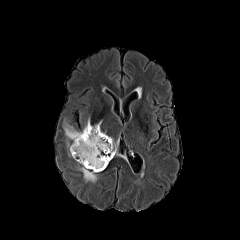
FLAIR MR image.
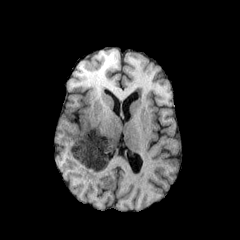
T1-weighted MR image.
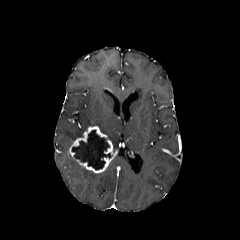
Post-contrast T1-weighted MR.
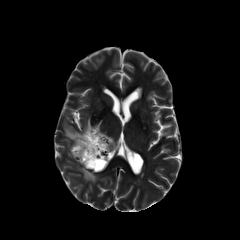
T2-weighted MRI.
Image size 240x240
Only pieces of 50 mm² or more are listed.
enhancing tumor — (left=69, top=126, right=117, bottom=173)
necrotic tumor core — (left=72, top=130, right=109, bottom=169)
peritumoral edema — (left=63, top=119, right=92, bottom=152), (left=108, top=136, right=117, bottom=150), (left=74, top=160, right=101, bottom=182)